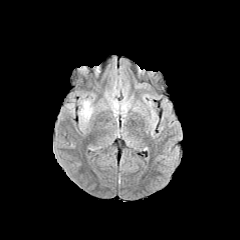
FLAIR MR.
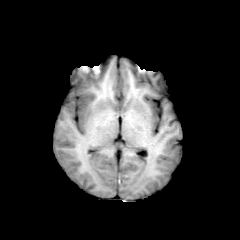
T1-weighted MR image.
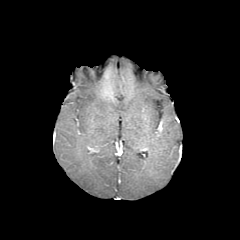
Post-contrast T1-weighted magnetic resonance of the same slice.
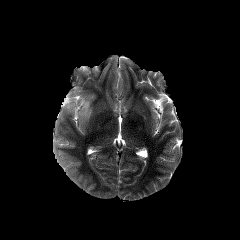
T2-weighted MR.
Axial slice
The peritumoral edema is located at (left=79, top=100, right=92, bottom=120).